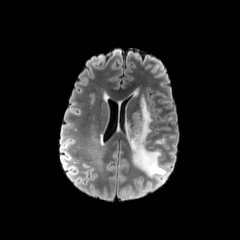
FLAIR magnetic resonance.
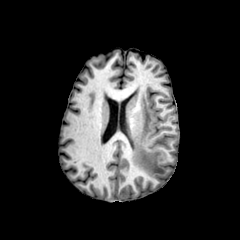
T1-weighted MR.
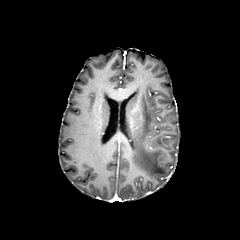
Post-contrast T1-weighted magnetic resonance of the same slice.
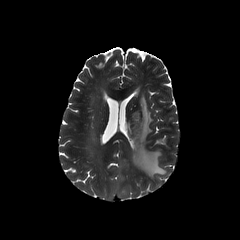
T2-weighted MRI of the same slice.
Head.
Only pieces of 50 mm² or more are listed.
peritumoral_edema:
  - 125,97,166,176